Slice 101/155. Head.
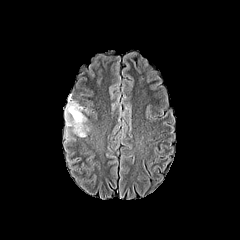
FLAIR MR.
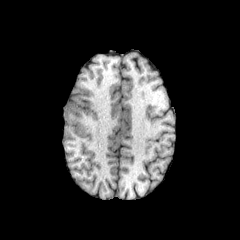
T1-weighted MR.
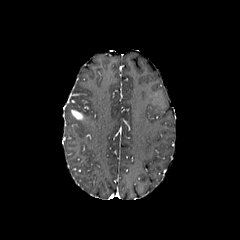
Post-contrast T1-weighted magnetic resonance.
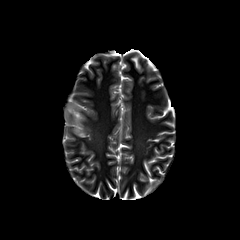
T2-weighted MR image.
enhancing_tumor:
  - rect(71, 109, 83, 119)
peritumoral_edema:
  - rect(65, 102, 89, 137)